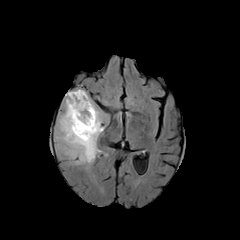
FLAIR magnetic resonance.
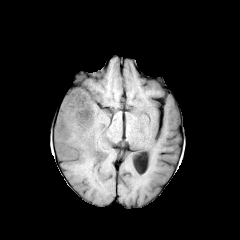
T1-weighted magnetic resonance.
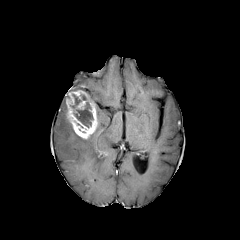
Post-contrast T1-weighted MR.
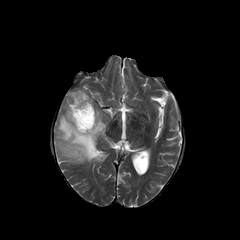
Same slice, T2-weighted MRI.
Brain
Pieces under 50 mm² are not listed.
• enhancing tumor: <bbox>66, 90, 98, 139</bbox>
• necrotic tumor core: <bbox>71, 94, 80, 107</bbox>, <bbox>74, 102, 93, 127</bbox>
• peritumoral edema: <bbox>55, 103, 105, 163</bbox>